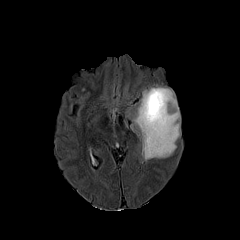
FLAIR MR.
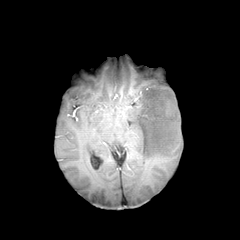
T1-weighted MRI.
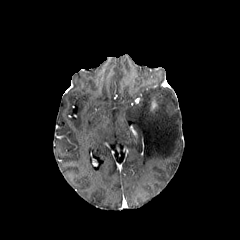
Post-contrast T1-weighted MRI.
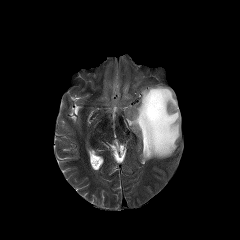
Same slice, T2-weighted MRI.
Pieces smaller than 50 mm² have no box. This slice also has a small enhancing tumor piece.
peritumoral edema = (132,86,180,160)